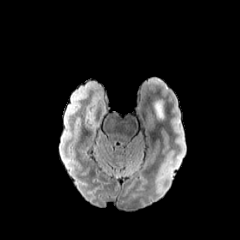
FLAIR magnetic resonance.
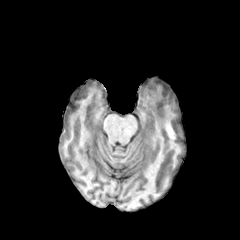
T1-weighted MR.
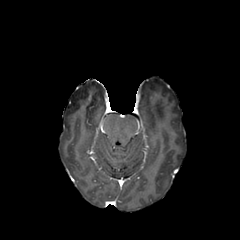
Post-contrast T1-weighted magnetic resonance.
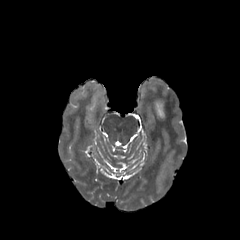
T2-weighted MRI.
Head
peritumoral edema = (154,100,164,119)